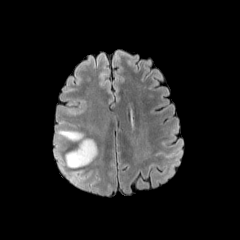
FLAIR MRI.
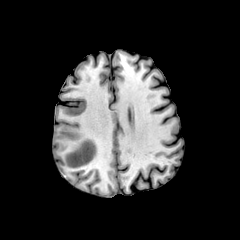
T1-weighted magnetic resonance.
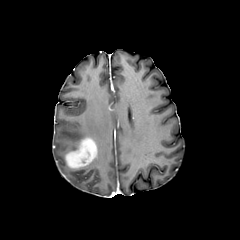
Same slice, post-contrast T1-weighted MR.
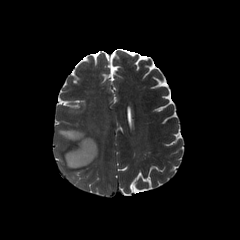
T2-weighted MR of the same slice.
Axial view, Brain
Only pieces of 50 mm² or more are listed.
- enhancing tumor: region(65, 137, 97, 168)
- peritumoral edema: region(58, 129, 86, 143); region(56, 153, 69, 171); region(66, 171, 81, 181)